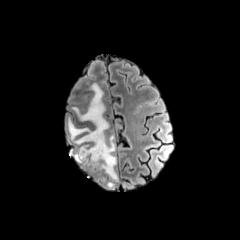
FLAIR MRI.
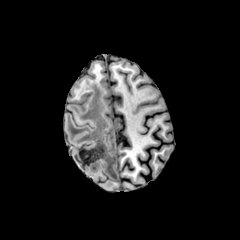
T1-weighted magnetic resonance of the same slice.
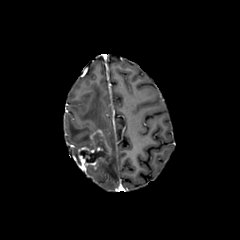
Same slice, post-contrast T1-weighted MR image.
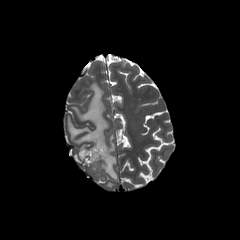
T2-weighted magnetic resonance.
240x240 px, Axial plane
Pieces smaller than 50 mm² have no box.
* enhancing tumor: x1=77 y1=129 x2=111 y2=170
* necrotic tumor core: x1=80 y1=133 x2=109 y2=162
* peritumoral edema: x1=87 y1=135 x2=118 y2=181, x1=105 y1=182 x2=114 y2=188, x1=68 y1=83 x2=109 y2=163